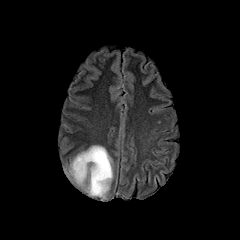
FLAIR MR.
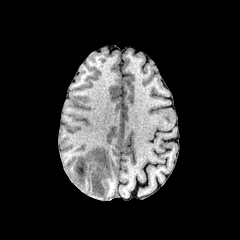
T1-weighted MRI.
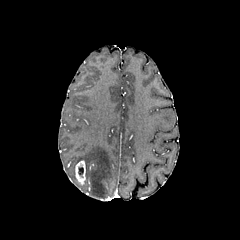
Post-contrast T1-weighted MR of the same slice.
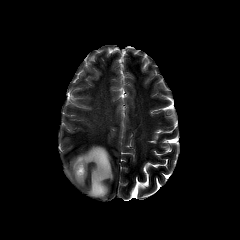
T2-weighted MR image.
Axial slice
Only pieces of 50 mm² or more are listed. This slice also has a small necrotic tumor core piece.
peritumoral edema: bounding box 69, 145, 113, 198
enhancing tumor: bounding box 75, 160, 85, 184